FLAIR magnetic resonance.
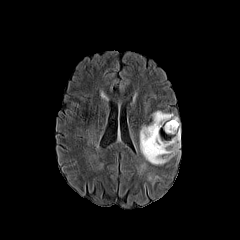
T1-weighted magnetic resonance.
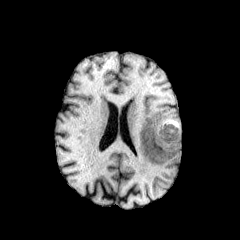
Post-contrast T1-weighted MRI.
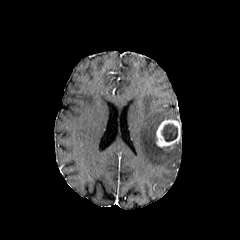
T2-weighted MR.
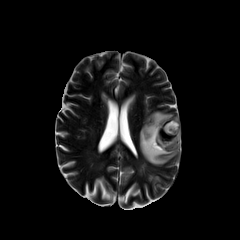
Image size 240x240. Axial slice.
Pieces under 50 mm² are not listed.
The necrotic tumor core is at box(162, 124, 177, 141). The largest peritumoral edema region appears at box(140, 111, 180, 164). The enhancing tumor appears at box(156, 120, 180, 147).